FLAIR MR image.
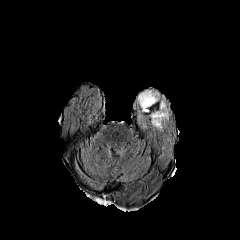
T1-weighted MR image.
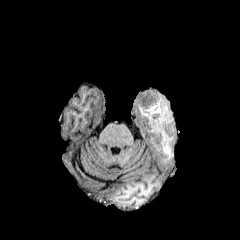
Post-contrast T1-weighted MR image.
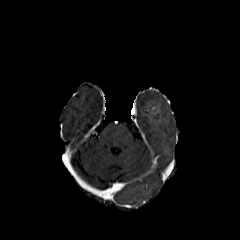
T2-weighted magnetic resonance.
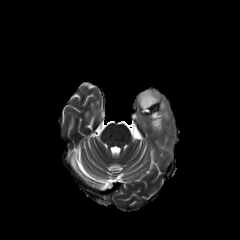
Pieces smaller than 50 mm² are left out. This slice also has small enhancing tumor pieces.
- peritumoral edema: {"x1": 137, "y1": 90, "x2": 159, "y2": 111}, {"x1": 150, "y1": 101, "x2": 168, "y2": 129}